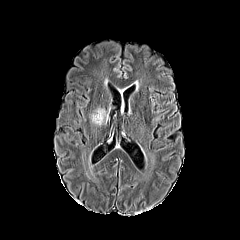
FLAIR MR image.
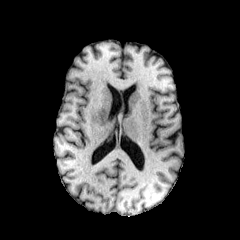
T1-weighted MR image.
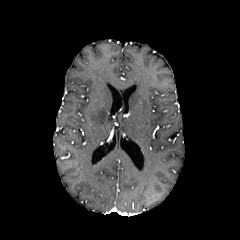
Same slice, post-contrast T1-weighted MR.
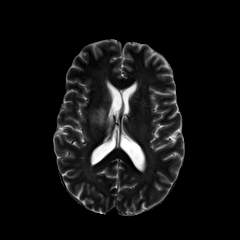
T2-weighted MR of the same slice.
Image size 240x240.
Findings:
- peritumoral edema: <bbox>90, 108, 107, 125</bbox>